240x240 px; Head; Axial plane; Slice 65/155
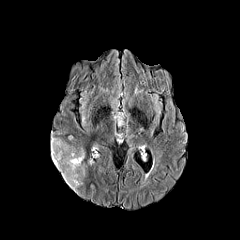
FLAIR magnetic resonance.
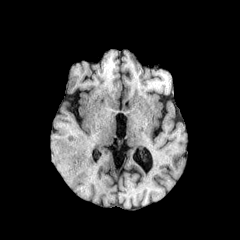
T1-weighted MR image.
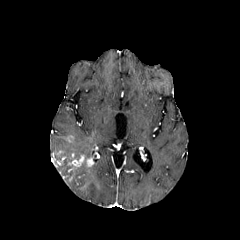
Post-contrast T1-weighted magnetic resonance.
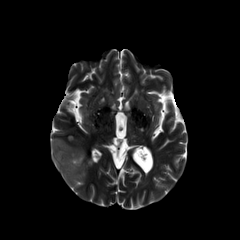
T2-weighted MR image.
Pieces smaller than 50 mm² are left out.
enhancing tumor: (68, 154, 84, 170), (86, 158, 93, 166) | peritumoral edema: (51, 137, 89, 191)